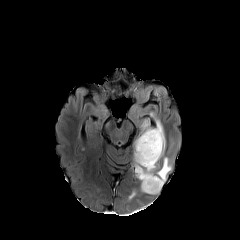
FLAIR MRI.
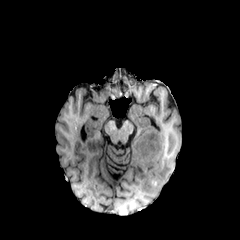
T1-weighted MRI of the same slice.
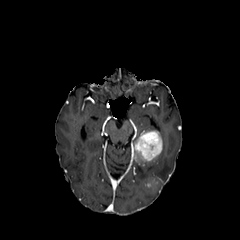
Same slice, post-contrast T1-weighted magnetic resonance.
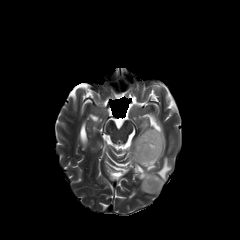
Same slice, T2-weighted MR image.
Axial slice
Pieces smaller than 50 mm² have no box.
The peritumoral edema is at box(135, 120, 171, 194). The 2 largest enhancing tumor regions appear at box(134, 130, 162, 165); box(144, 177, 159, 192).